Image size 240x240. Slice index 52.
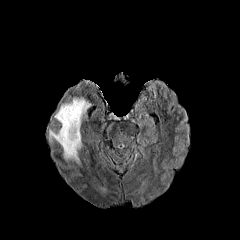
FLAIR MRI.
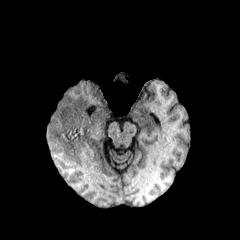
T1-weighted MR of the same slice.
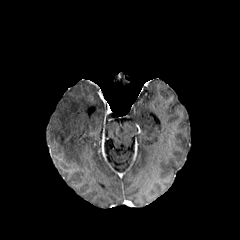
Post-contrast T1-weighted MR of the same slice.
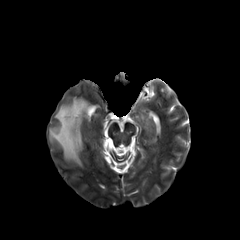
T2-weighted MR of the same slice.
The peritumoral edema is located at region(49, 97, 90, 163).